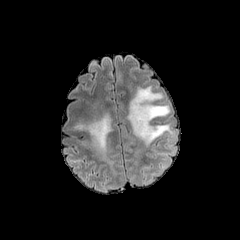
FLAIR MRI.
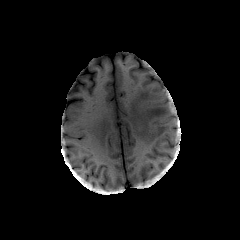
Same slice, T1-weighted MR image.
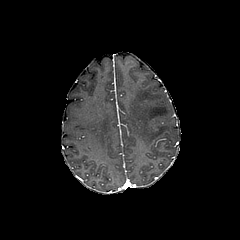
Same slice, post-contrast T1-weighted MR image.
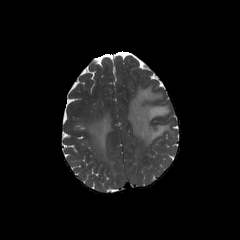
T2-weighted magnetic resonance.
Axial slice
<segmentation>
  <peritumoral_edema>box(75, 114, 112, 164); box(127, 86, 174, 146)</peritumoral_edema>
</segmentation>